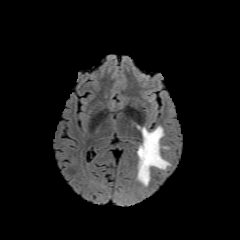
FLAIR MRI.
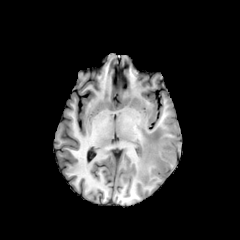
T1-weighted MR image of the same slice.
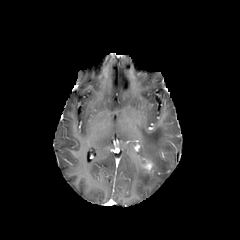
Post-contrast T1-weighted magnetic resonance.
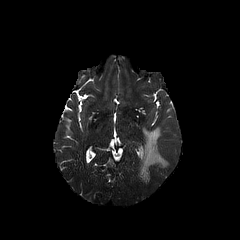
Same slice, T2-weighted MRI.
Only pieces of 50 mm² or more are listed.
peritumoral edema: [137,126,169,185]
enhancing tumor: [143,160,152,170]